240x240; Image width 240 mm, 1.00 mm slice spacing
FLAIR magnetic resonance.
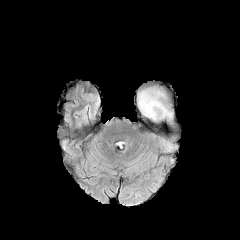
T1-weighted magnetic resonance.
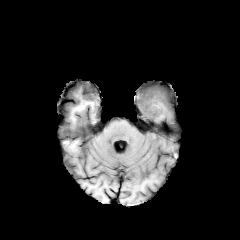
Post-contrast T1-weighted magnetic resonance.
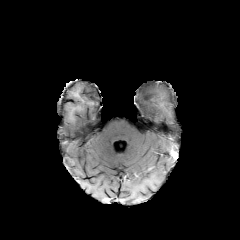
T2-weighted MR.
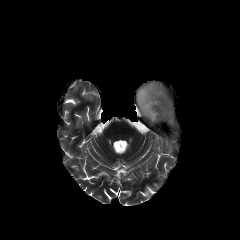
Segmented structures:
* peritumoral edema: rect(135, 80, 180, 132)